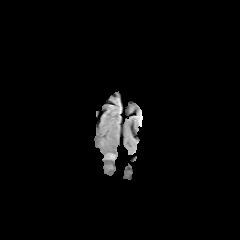
FLAIR MRI.
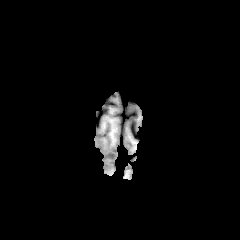
T1-weighted MR.
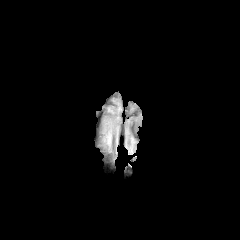
Same slice, post-contrast T1-weighted magnetic resonance.
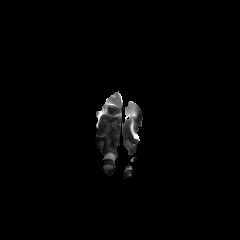
T2-weighted MRI.
Head
2 peritumoral edema regions are located at left=103, top=164, right=112, bottom=173; left=102, top=153, right=115, bottom=160.